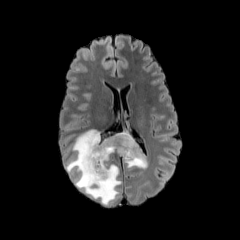
FLAIR MRI.
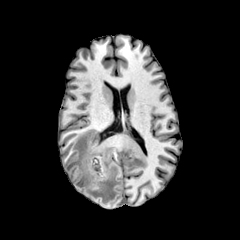
T1-weighted magnetic resonance.
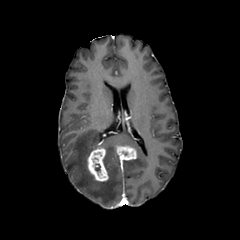
Post-contrast T1-weighted magnetic resonance.
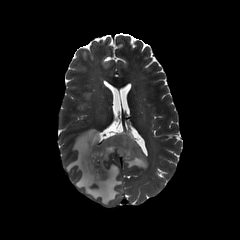
T2-weighted MR.
Axial slice
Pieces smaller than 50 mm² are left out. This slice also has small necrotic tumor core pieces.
2 enhancing tumor regions are bounded by region(87, 147, 108, 181); region(116, 146, 136, 160). The peritumoral edema is at region(66, 129, 147, 205).